FLAIR MRI.
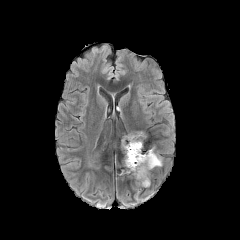
T1-weighted magnetic resonance.
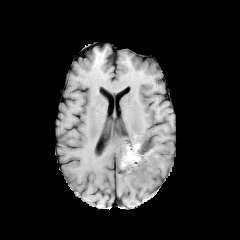
Post-contrast T1-weighted magnetic resonance.
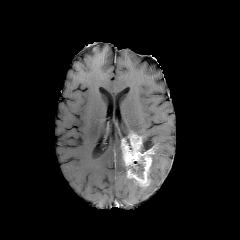
T2-weighted magnetic resonance.
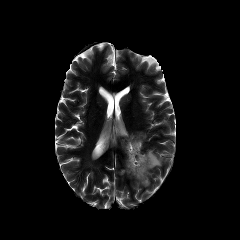
240x240 px
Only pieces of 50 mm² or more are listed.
enhancing tumor: left=121, top=133, right=154, bottom=186 | peritumoral edema: left=150, top=153, right=161, bottom=169 | necrotic tumor core: left=131, top=161, right=143, bottom=176